Brain; Image size 240x240
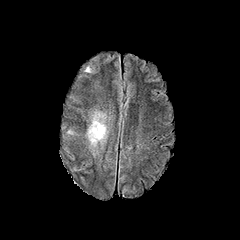
FLAIR MRI.
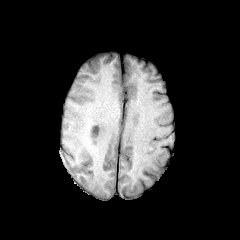
T1-weighted magnetic resonance of the same slice.
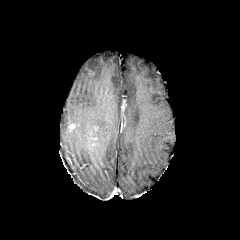
Post-contrast T1-weighted MR.
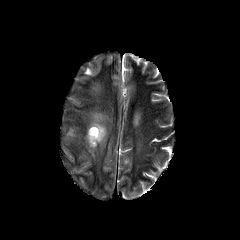
T2-weighted MRI of the same slice.
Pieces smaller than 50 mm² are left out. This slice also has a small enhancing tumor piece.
peritumoral edema: {"x1": 88, "y1": 118, "x2": 106, "y2": 145}